Slice 94 of 155
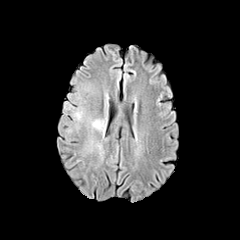
FLAIR magnetic resonance.
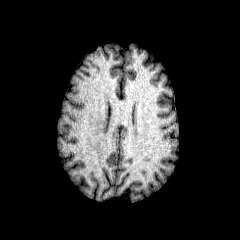
T1-weighted MR image of the same slice.
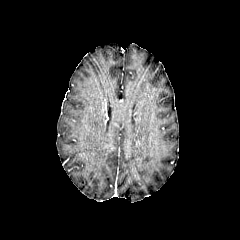
Post-contrast T1-weighted magnetic resonance of the same slice.
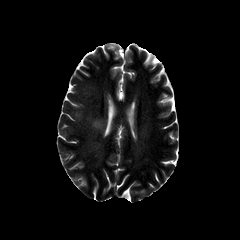
T2-weighted magnetic resonance.
Annotated regions:
* peritumoral edema: left=91, top=119, right=105, bottom=133; left=73, top=109, right=83, bottom=121